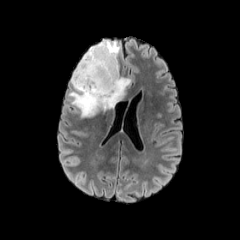
FLAIR MR.
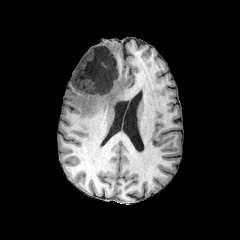
T1-weighted MR.
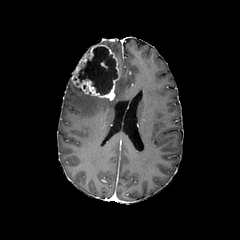
Post-contrast T1-weighted MR.
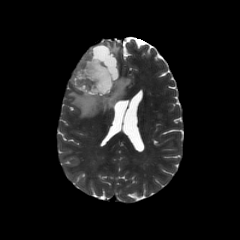
Same slice, T2-weighted MR.
Head. Axial view. Image size 240x240.
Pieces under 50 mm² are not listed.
{"enhancing_tumor": ["(71, 44, 119, 100)"], "peritumoral_edema": ["(69, 76, 130, 117)", "(99, 40, 120, 57)"], "necrotic_tumor_core": ["(78, 46, 117, 94)"]}